FLAIR MRI.
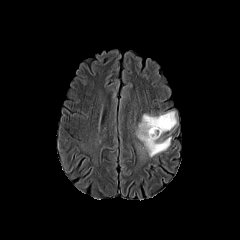
T1-weighted magnetic resonance.
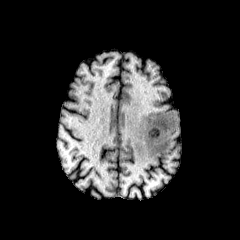
Post-contrast T1-weighted MR image.
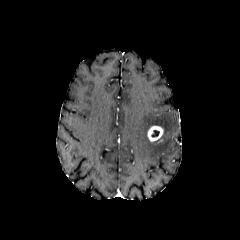
T2-weighted magnetic resonance.
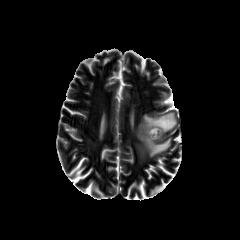
Axial view
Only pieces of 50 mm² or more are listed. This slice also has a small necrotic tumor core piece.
enhancing tumor — (147,126,163,141)
peritumoral edema — (136,111,177,157)